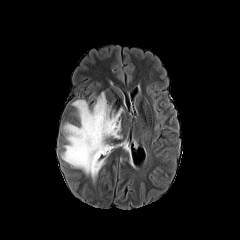
FLAIR MR.
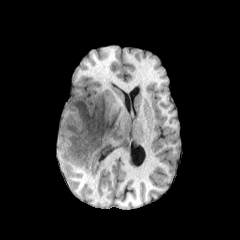
T1-weighted MR image.
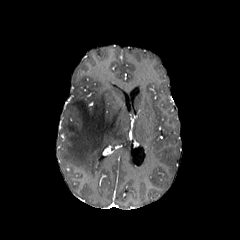
Post-contrast T1-weighted MR image.
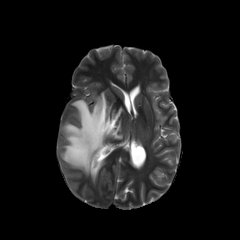
T2-weighted MRI.
Head, Image size 240x240
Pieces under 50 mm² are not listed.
The largest peritumoral edema region is at (61, 92, 122, 181).